Slice 52 of 155, Brain, Image width 240 mm, 1.00 mm slice spacing, 240x240 px
FLAIR MR.
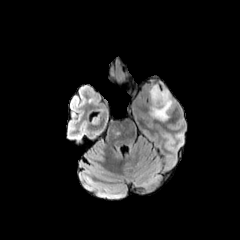
T1-weighted MRI.
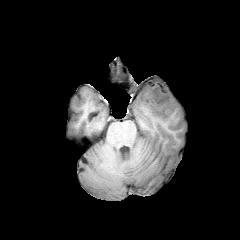
Post-contrast T1-weighted MR image.
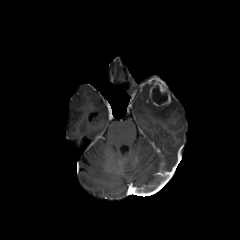
T2-weighted MRI.
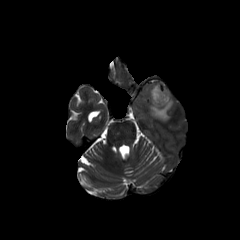
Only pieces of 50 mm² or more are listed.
enhancing tumor: (left=148, top=78, right=171, bottom=106) | peritumoral edema: (left=148, top=95, right=174, bottom=121) | necrotic tumor core: (left=152, top=85, right=167, bottom=104)